240x240 px, Axial view
FLAIR magnetic resonance.
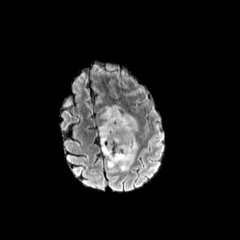
T1-weighted MR image.
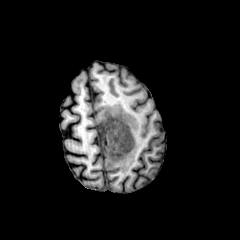
Post-contrast T1-weighted magnetic resonance.
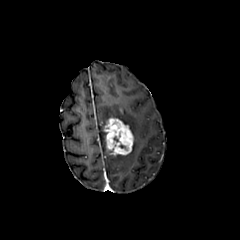
T2-weighted magnetic resonance.
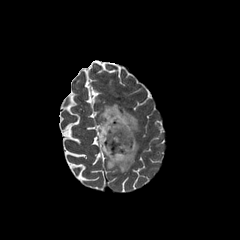
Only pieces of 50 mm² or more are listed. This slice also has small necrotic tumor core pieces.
<segmentation>
  <enhancing_tumor>box(103, 117, 134, 156)</enhancing_tumor>
  <peritumoral_edema>box(99, 104, 138, 171)</peritumoral_edema>
</segmentation>